Axial plane, Brain
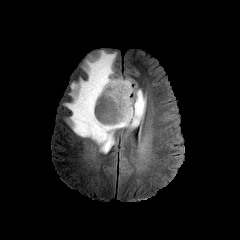
FLAIR MR image.
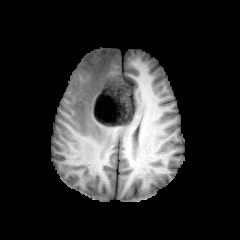
T1-weighted magnetic resonance.
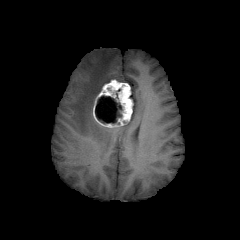
Same slice, post-contrast T1-weighted MR image.
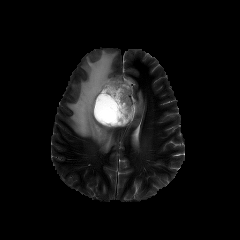
T2-weighted magnetic resonance of the same slice.
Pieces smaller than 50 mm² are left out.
* enhancing tumor: x1=92 y1=79 x2=133 y2=127
* peritumoral edema: x1=65 y1=50 x2=145 y2=153
* necrotic tumor core: x1=95 y1=95 x2=121 y2=123